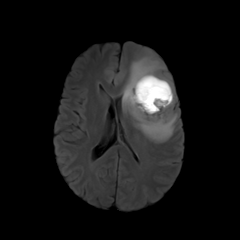
FLAIR MR image.
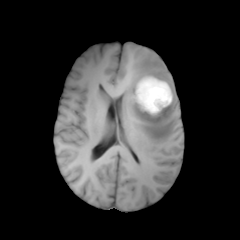
Same slice, T1-weighted magnetic resonance.
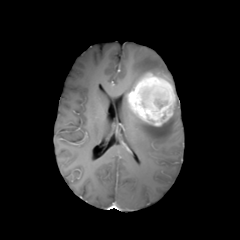
Same slice, post-contrast T1-weighted MRI.
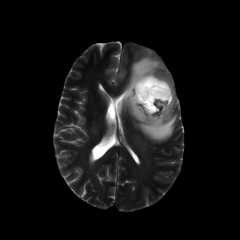
Same slice, T2-weighted magnetic resonance.
Brain, 240x240 px, Axial view
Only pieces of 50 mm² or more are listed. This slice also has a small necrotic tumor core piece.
<segmentation>
  <peritumoral_edema>(122, 50, 177, 142)</peritumoral_edema>
  <enhancing_tumor>(127, 72, 175, 126)</enhancing_tumor>
</segmentation>